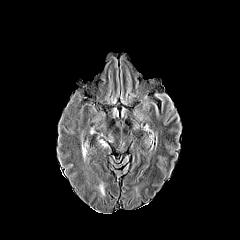
FLAIR MRI.
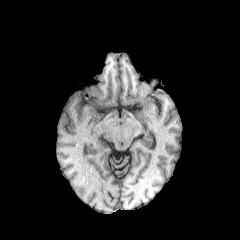
Same slice, T1-weighted magnetic resonance.
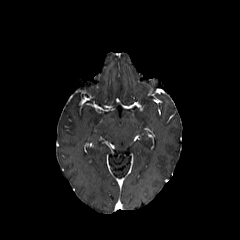
Post-contrast T1-weighted MR.
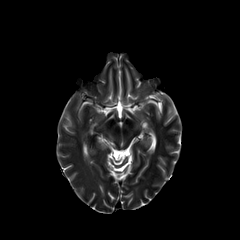
T2-weighted MR of the same slice.
Brain. Image size 240x240.
The peritumoral edema appears at rect(90, 128, 112, 146).